240x240 px. Slice index 57.
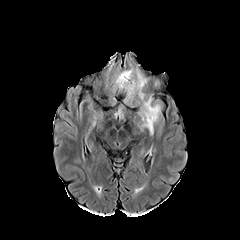
FLAIR MR.
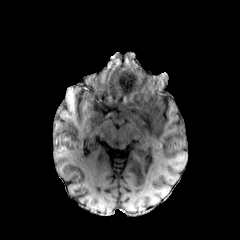
T1-weighted MR.
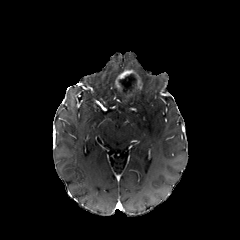
Post-contrast T1-weighted MRI.
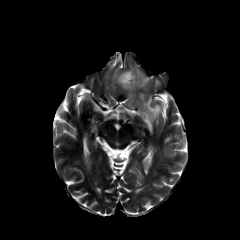
Same slice, T2-weighted MR image.
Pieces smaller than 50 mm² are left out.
The necrotic tumor core is bounded by left=119, top=73, right=136, bottom=94. The 2 largest peritumoral edema regions appear at left=124, top=89, right=161, bottom=134; left=135, top=68, right=148, bottom=86. The largest enhancing tumor region is bounded by left=115, top=70, right=142, bottom=91.